FLAIR MR image.
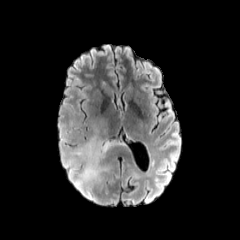
T1-weighted MRI.
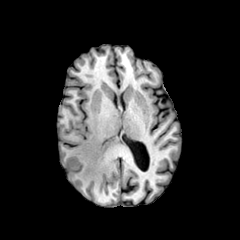
Post-contrast T1-weighted MR image.
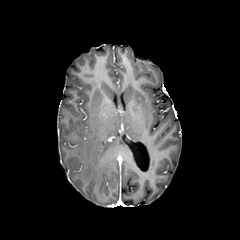
T2-weighted MRI.
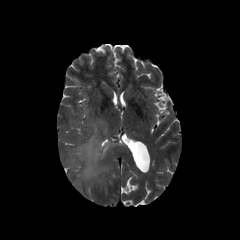
Brain.
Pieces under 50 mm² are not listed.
Annotated regions:
- peritumoral edema: rect(74, 135, 116, 182)